FLAIR magnetic resonance.
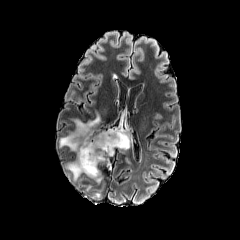
T1-weighted MR image.
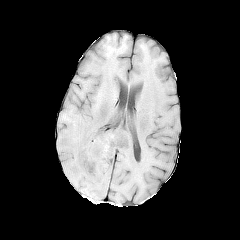
Post-contrast T1-weighted MRI.
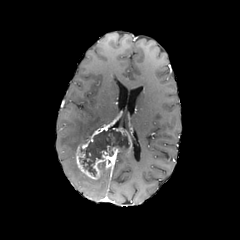
T2-weighted MRI.
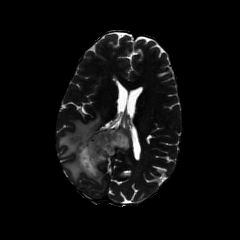
Axial view; Head
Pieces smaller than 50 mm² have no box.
The largest enhancing tumor region is located at bbox=[76, 127, 132, 179]. The largest necrotic tumor core region is bounded by bbox=[79, 129, 129, 176]. The 2 largest peritumoral edema regions are located at bbox=[59, 111, 100, 153]; bbox=[66, 159, 81, 180].